Brain, Image width 240 mm, 1.00 mm slice spacing
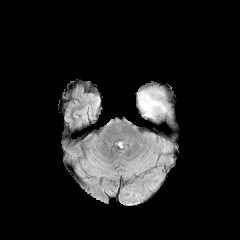
FLAIR MR image.
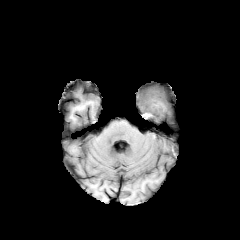
Same slice, T1-weighted MR image.
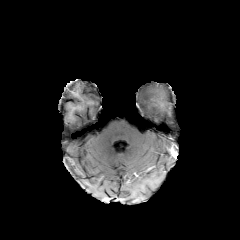
Post-contrast T1-weighted magnetic resonance.
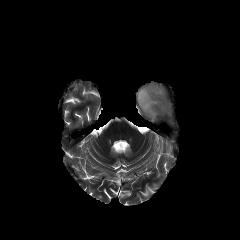
T2-weighted magnetic resonance.
peritumoral edema: [136,82,175,124]